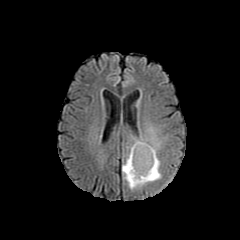
FLAIR MR image.
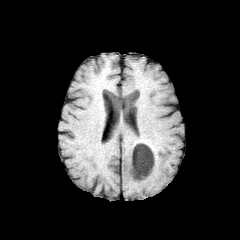
T1-weighted magnetic resonance.
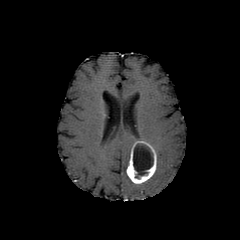
Post-contrast T1-weighted magnetic resonance of the same slice.
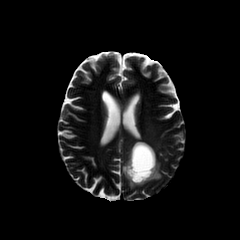
T2-weighted MR.
Head. Axial slice. Image size 240x240.
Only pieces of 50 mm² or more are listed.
peritumoral edema: (x1=122, y1=127, x2=162, y2=190)
necrotic tumor core: (x1=133, y1=144, x2=153, y2=177)
enhancing tumor: (x1=126, y1=141, x2=156, y2=183)